Axial plane; 240x240; Slice 87 of 155
FLAIR MR.
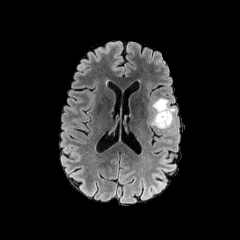
T1-weighted MR image.
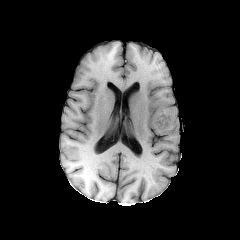
Post-contrast T1-weighted MR.
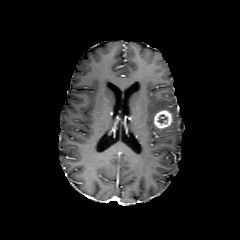
T2-weighted MR.
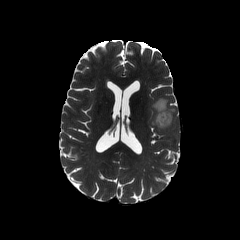
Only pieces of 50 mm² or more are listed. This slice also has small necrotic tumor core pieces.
enhancing_tumor:
  - left=154, top=110, right=172, bottom=128
peritumoral_edema:
  - left=150, top=98, right=176, bottom=131